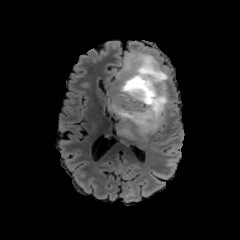
FLAIR MRI.
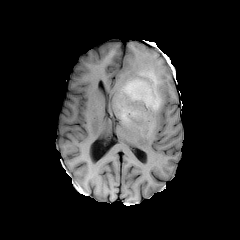
T1-weighted MR of the same slice.
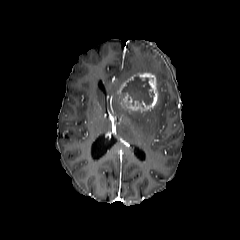
Post-contrast T1-weighted MR image of the same slice.
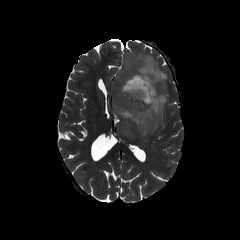
T2-weighted MR image.
Axial plane; Brain
enhancing tumor: bounding box 119:72:158:110
necrotic tumor core: bounding box 123:75:153:105
peritumoral edema: bounding box 109:50:168:135